Brain
FLAIR MR.
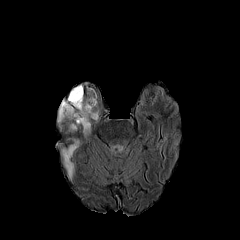
T1-weighted MRI.
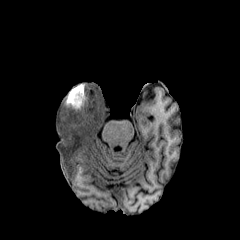
Post-contrast T1-weighted MRI.
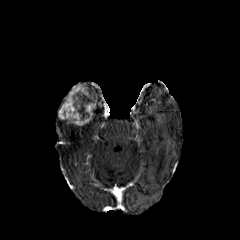
T2-weighted MRI.
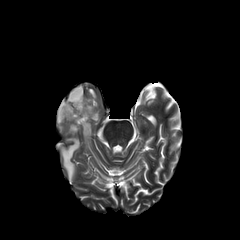
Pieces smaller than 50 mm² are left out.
The largest necrotic tumor core region lies within (68, 85, 92, 119). The largest enhancing tumor region lies within (58, 86, 98, 125). The 2 largest peritumoral edema regions appear at (61, 138, 79, 178), (83, 122, 90, 136).